FLAIR MR image.
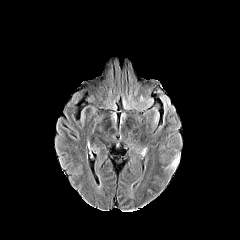
T1-weighted MR image.
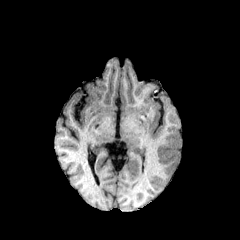
Post-contrast T1-weighted MR image.
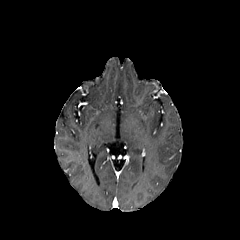
T2-weighted MRI.
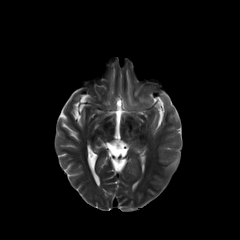
Head
The peritumoral edema is at [169,157,178,169].